Slice index 59. Image size 240x240. Image width 240 mm. Brain.
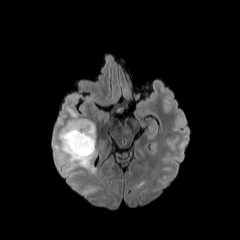
FLAIR MRI.
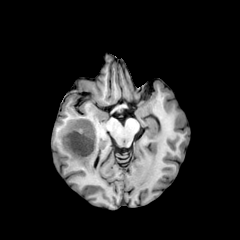
Same slice, T1-weighted magnetic resonance.
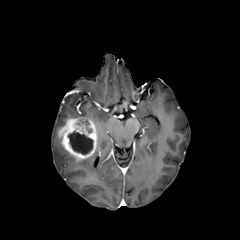
Post-contrast T1-weighted MR.
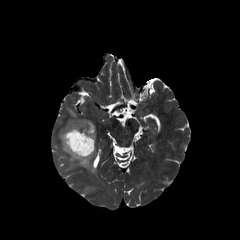
T2-weighted MRI of the same slice.
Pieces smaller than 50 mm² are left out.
The enhancing tumor appears at x1=58, y1=118, x2=97, y2=160. The largest necrotic tumor core region is located at x1=68, y1=131, x2=93, y2=154. 2 peritumoral edema regions are located at x1=54, y1=138, x2=95, y2=172; x1=67, y1=106, x2=79, y2=117.